FLAIR MR.
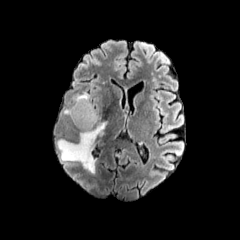
T1-weighted MR.
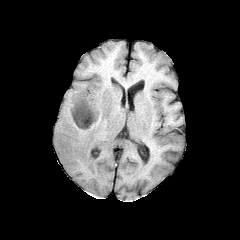
Post-contrast T1-weighted MRI.
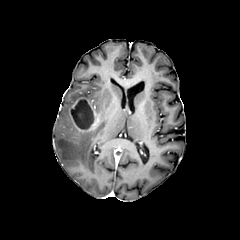
T2-weighted MRI.
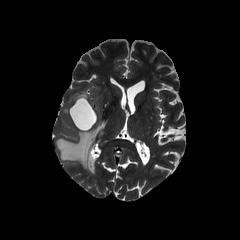
Axial slice
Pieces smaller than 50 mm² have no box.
The enhancing tumor is at rect(70, 97, 98, 131). The necrotic tumor core is at rect(71, 99, 94, 129). The 2 largest peritumoral edema regions are located at rect(57, 121, 107, 173); rect(73, 92, 88, 102).